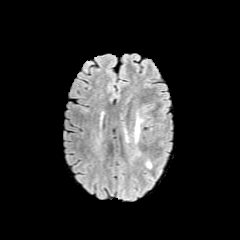
FLAIR magnetic resonance.
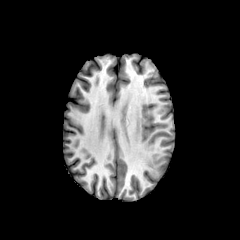
T1-weighted MR image.
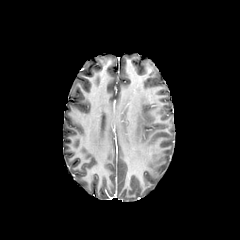
Same slice, post-contrast T1-weighted MR.
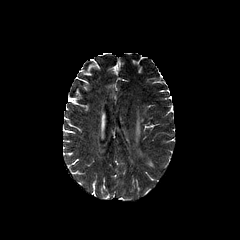
Same slice, T2-weighted MR image.
Head
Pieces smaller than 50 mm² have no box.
The largest peritumoral edema region is bounded by 134 114 143 142.